Head; Image width 240 mm, 1.00 mm slice spacing
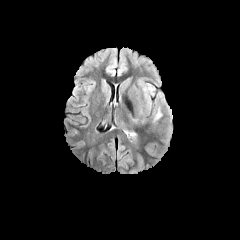
FLAIR MR.
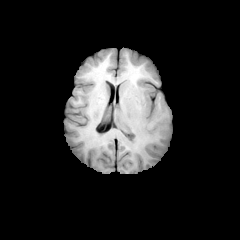
T1-weighted MR of the same slice.
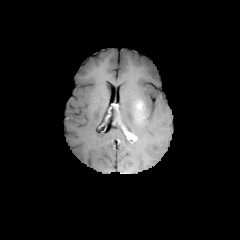
Post-contrast T1-weighted MRI of the same slice.
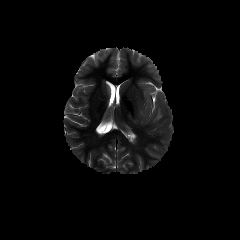
T2-weighted MR.
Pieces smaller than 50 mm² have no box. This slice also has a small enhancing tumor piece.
peritumoral edema: (154, 109, 161, 120)